FLAIR MRI.
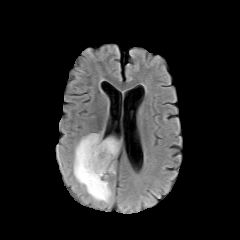
T1-weighted MR.
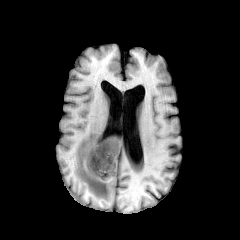
Post-contrast T1-weighted MRI.
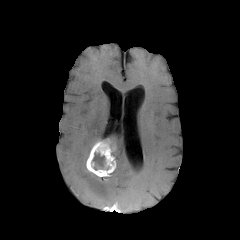
T2-weighted MRI.
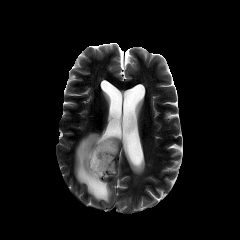
Axial plane | 240x240
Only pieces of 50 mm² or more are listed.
{
  "necrotic_tumor_core": [
    "region(90, 153, 111, 171)"
  ],
  "peritumoral_edema": [
    "region(73, 132, 114, 206)",
    "region(108, 137, 120, 157)"
  ],
  "enhancing_tumor": [
    "region(86, 138, 116, 177)"
  ]
}